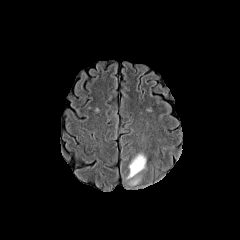
FLAIR MR.
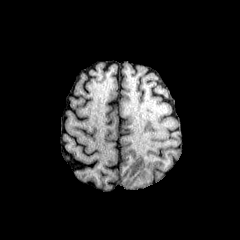
T1-weighted MR image.
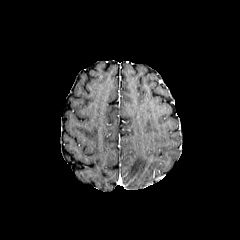
Same slice, post-contrast T1-weighted MR.
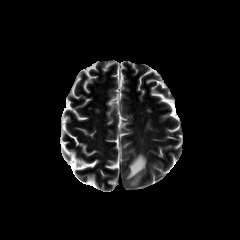
T2-weighted magnetic resonance of the same slice.
240x240
peritumoral edema: bounding box x1=126, y1=153, x2=146, y2=185